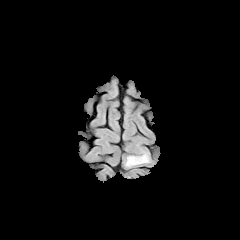
FLAIR MR.
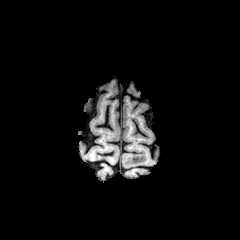
T1-weighted MR.
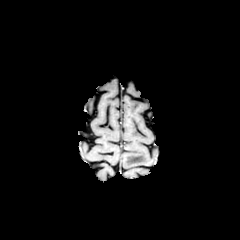
Post-contrast T1-weighted MR image.
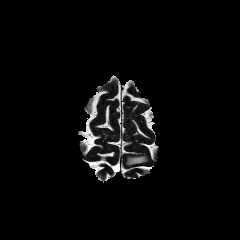
Same slice, T2-weighted magnetic resonance.
Brain | 240x240 px
peritumoral edema at 126, 154, 148, 165